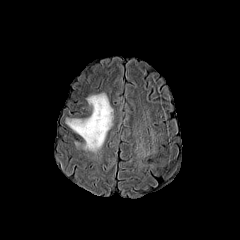
FLAIR magnetic resonance.
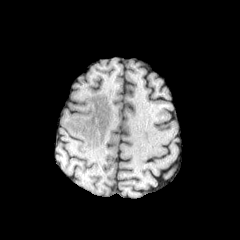
T1-weighted MR image.
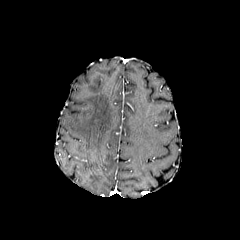
Same slice, post-contrast T1-weighted MR.
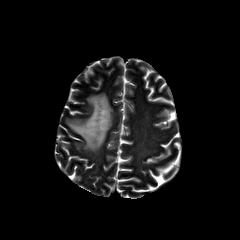
T2-weighted MR of the same slice.
240x240
peritumoral edema: [x1=66, y1=93, x2=113, y2=151]